Brain, Image size 240x240, Slice index 119
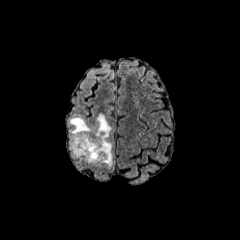
FLAIR MR image.
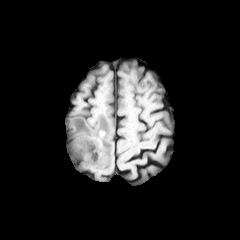
T1-weighted MR.
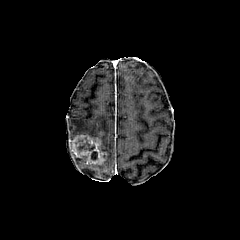
Post-contrast T1-weighted MR.
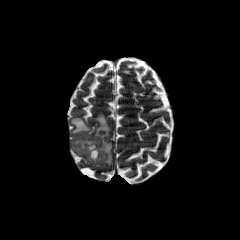
T2-weighted MR.
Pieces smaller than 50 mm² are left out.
enhancing tumor: 70 134 107 164 | necrotic tumor core: 77 138 94 152, 91 151 97 160 | peritumoral edema: 70 114 112 167